FLAIR magnetic resonance.
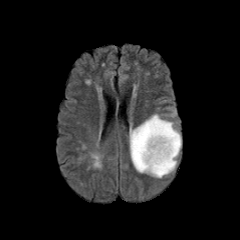
T1-weighted MR.
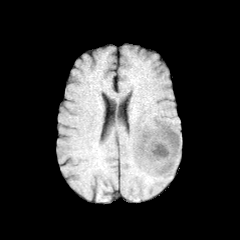
Post-contrast T1-weighted magnetic resonance.
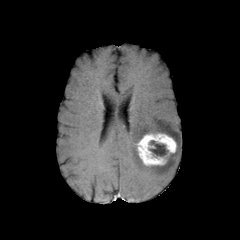
T2-weighted magnetic resonance.
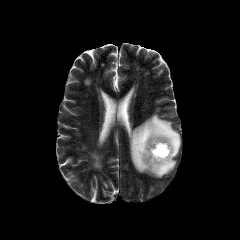
240x240.
peritumoral edema = 129, 114, 181, 178
necrotic tumor core = 149, 141, 168, 156
enhancing tumor = 135, 132, 177, 166